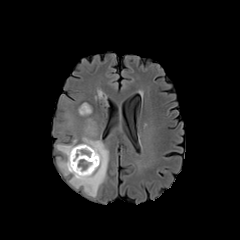
FLAIR magnetic resonance.
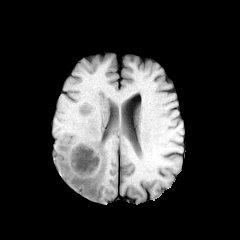
Same slice, T1-weighted MR image.
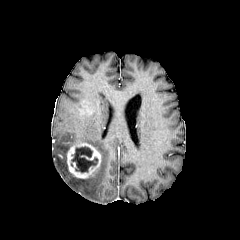
Post-contrast T1-weighted MR.
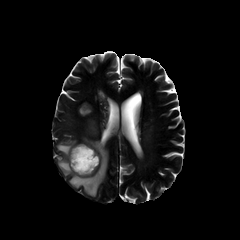
T2-weighted MR.
Axial plane; Head; 240x240
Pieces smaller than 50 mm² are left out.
The largest necrotic tumor core region is located at l=71, t=146, r=98, b=172. The 2 largest peritumoral edema regions appear at l=69, t=120, r=108, b=197; l=56, t=139, r=76, b=175. 2 enhancing tumor regions are bounded by l=67, t=143, r=100, b=178; l=79, t=105, r=91, b=114.